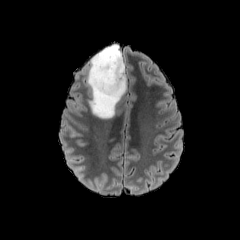
FLAIR magnetic resonance.
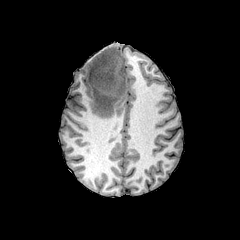
T1-weighted magnetic resonance.
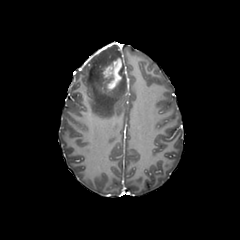
Post-contrast T1-weighted MR.
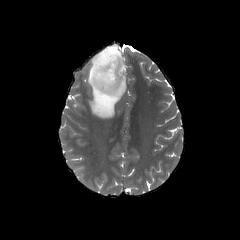
Same slice, T2-weighted MRI.
Head
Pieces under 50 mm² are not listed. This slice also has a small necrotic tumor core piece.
The peritumoral edema is bounded by x1=87 y1=44 x2=126 y2=118. The enhancing tumor is located at x1=102 y1=58 x2=121 y2=90.